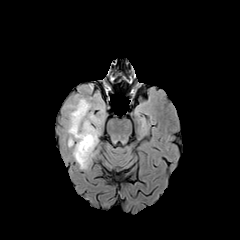
FLAIR magnetic resonance.
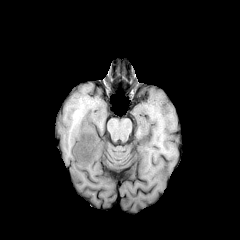
T1-weighted MRI.
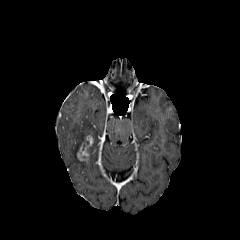
Post-contrast T1-weighted magnetic resonance of the same slice.
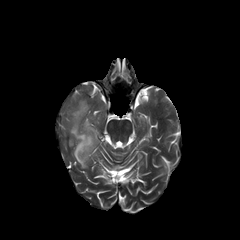
T2-weighted MR.
Axial plane
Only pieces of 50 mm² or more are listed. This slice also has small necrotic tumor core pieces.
peritumoral edema = (left=56, top=85, right=107, bottom=170)
enhancing tumor = (left=77, top=135, right=93, bottom=161)